240x240
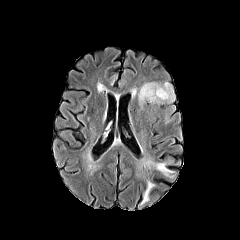
FLAIR MR.
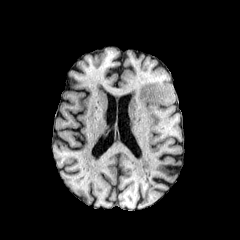
T1-weighted MR of the same slice.
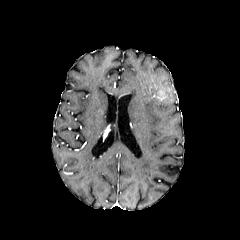
Post-contrast T1-weighted MRI.
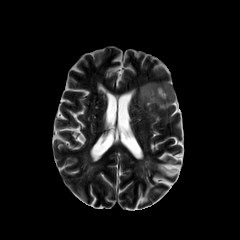
T2-weighted MR image.
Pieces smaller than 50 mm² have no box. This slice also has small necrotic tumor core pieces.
{"peritumoral_edema": ["bbox(138, 82, 174, 106)"], "enhancing_tumor": ["bbox(157, 88, 167, 100)"]}